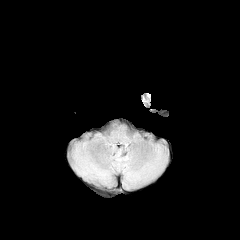
FLAIR magnetic resonance.
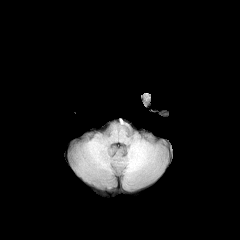
T1-weighted MR of the same slice.
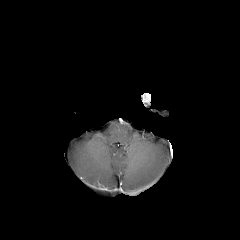
Post-contrast T1-weighted MRI of the same slice.
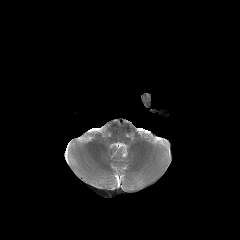
T2-weighted MRI.
Axial plane; 240x240
The peritumoral edema is bounded by <bbox>143, 93, 150, 102</bbox>.